240x240 px, Slice 99 of 155
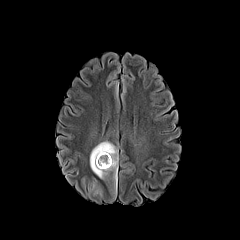
FLAIR MR image.
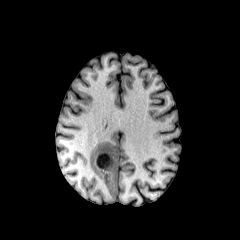
T1-weighted MRI of the same slice.
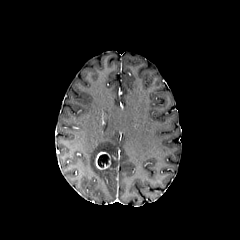
Post-contrast T1-weighted MR of the same slice.
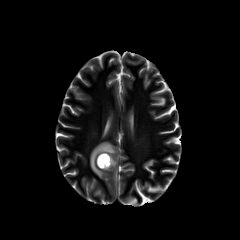
Same slice, T2-weighted MR.
necrotic tumor core = 98 154 109 167
peritumoral edema = 90 141 118 183
enhancing tumor = 95 152 111 169